Image covers 240 mm x 240 mm, Slice index 47, Head
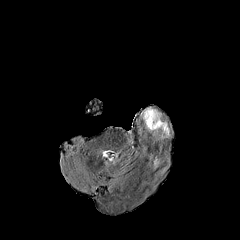
FLAIR MR.
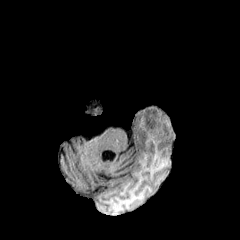
Same slice, T1-weighted MRI.
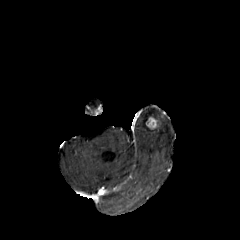
Same slice, post-contrast T1-weighted MRI.
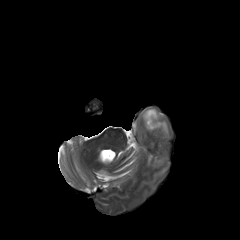
Same slice, T2-weighted MR image.
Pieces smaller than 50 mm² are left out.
peritumoral edema: x1=142, y1=108, x2=168, y2=136 | enhancing tumor: x1=146, y1=117, x2=159, y2=128